FLAIR MRI.
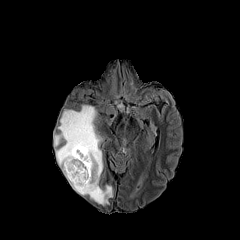
T1-weighted MR.
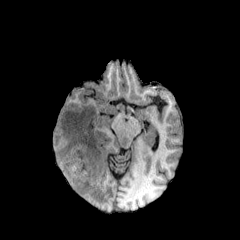
Post-contrast T1-weighted MR.
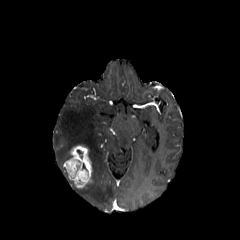
T2-weighted magnetic resonance.
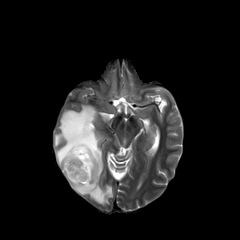
Axial slice | 240x240
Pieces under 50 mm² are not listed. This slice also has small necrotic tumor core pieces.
<segmentation>
  <enhancing_tumor>[63, 145, 92, 188]</enhancing_tumor>
  <peritumoral_edema>[54, 105, 112, 205]</peritumoral_edema>
</segmentation>